Slice index 104 | 240x240 px | Image width 240 mm | Axial plane
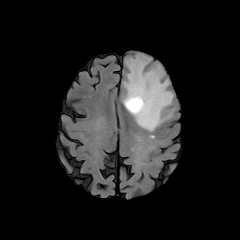
FLAIR MR image.
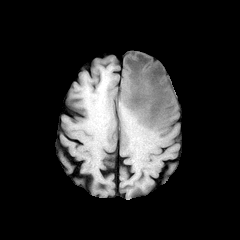
T1-weighted magnetic resonance.
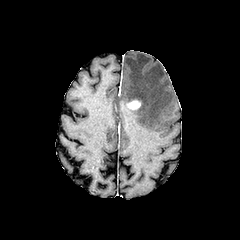
Post-contrast T1-weighted MR.
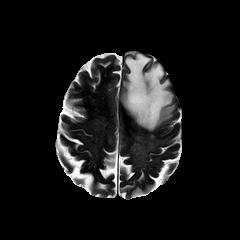
T2-weighted MR.
The peritumoral edema is at l=123, t=53, r=173, b=131. The enhancing tumor is bounded by l=126, t=100, r=141, b=110.